Image covers 240 mm x 240 mm. Brain.
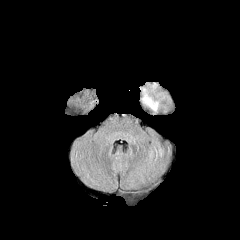
FLAIR magnetic resonance.
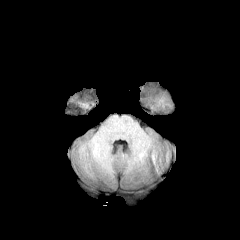
T1-weighted MR image of the same slice.
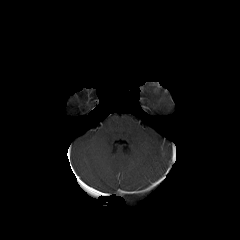
Post-contrast T1-weighted MR image.
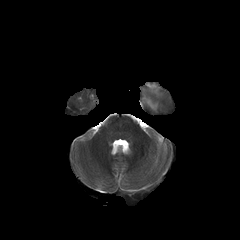
T2-weighted MR.
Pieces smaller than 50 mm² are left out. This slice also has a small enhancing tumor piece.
{"peritumoral_edema": ["(142, 84, 161, 111)"]}